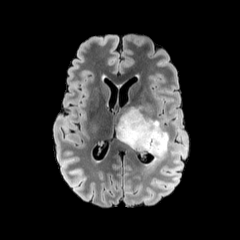
FLAIR magnetic resonance.
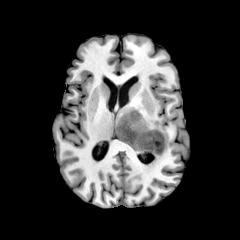
T1-weighted MRI.
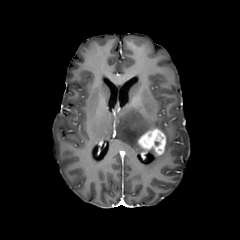
Same slice, post-contrast T1-weighted magnetic resonance.
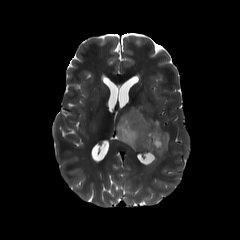
Same slice, T2-weighted MR.
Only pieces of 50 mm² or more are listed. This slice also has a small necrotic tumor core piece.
The enhancing tumor lies within [137, 128, 166, 155]. The peritumoral edema is at [116, 107, 169, 166].